Head. Axial plane. 240x240.
FLAIR MR image.
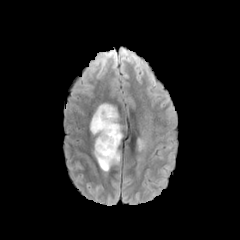
T1-weighted MR image.
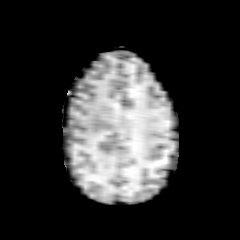
Post-contrast T1-weighted MR image.
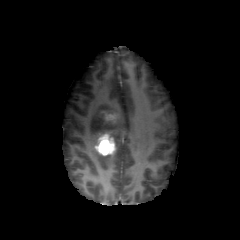
T2-weighted MR image.
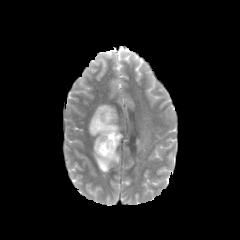
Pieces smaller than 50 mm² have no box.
peritumoral edema: bounding box l=90, t=103, r=122, b=171; l=137, t=139, r=145, b=149
enhancing tumor: bounding box l=95, t=133, r=116, b=155